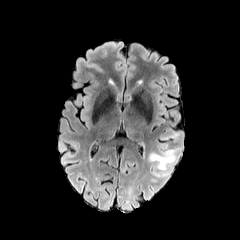
FLAIR MR.
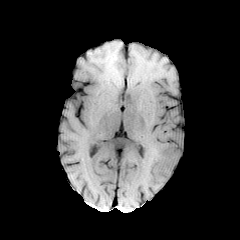
T1-weighted MR.
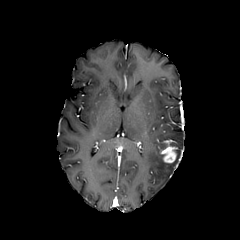
Same slice, post-contrast T1-weighted MR.
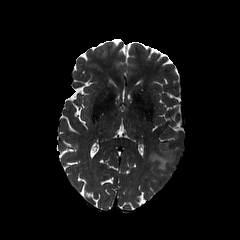
T2-weighted magnetic resonance of the same slice.
Brain. Axial plane.
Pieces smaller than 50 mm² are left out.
Segmented structures:
* peritumoral edema: <bbox>148, 143, 180, 177</bbox>
* enhancing tumor: <bbox>161, 146, 177, 163</bbox>